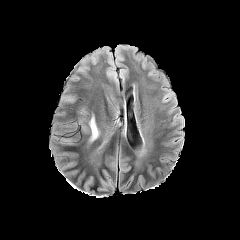
FLAIR MR.
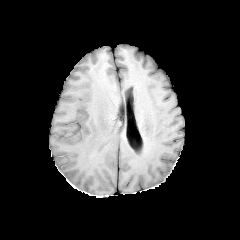
T1-weighted MRI of the same slice.
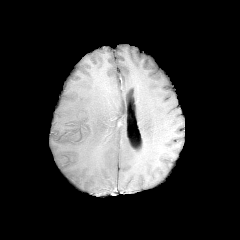
Post-contrast T1-weighted magnetic resonance.
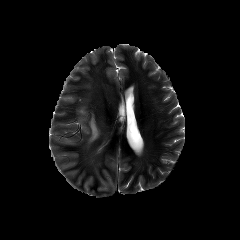
T2-weighted MR.
Axial plane; Head
{"peritumoral_edema": ["(left=89, top=116, right=99, bottom=142)"]}